FLAIR magnetic resonance.
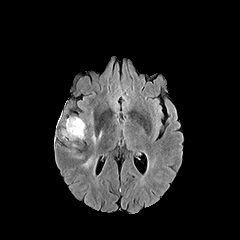
T1-weighted magnetic resonance.
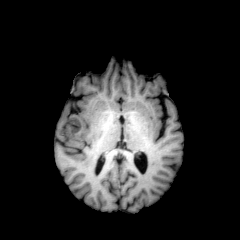
Post-contrast T1-weighted MRI.
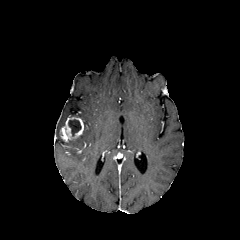
T2-weighted MR.
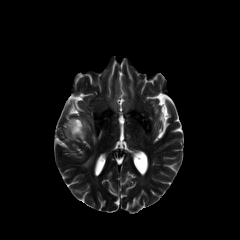
Brain. Axial plane.
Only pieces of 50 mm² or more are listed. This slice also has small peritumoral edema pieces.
Segmented structures:
* enhancing tumor: (x1=60, y1=117, x2=83, y2=141)
* necrotic tumor core: (x1=68, y1=119, x2=81, y2=136)